Slice 64 of 155 | 240x240 | Axial view
FLAIR MRI.
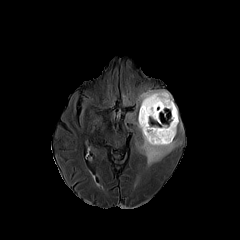
T1-weighted MR.
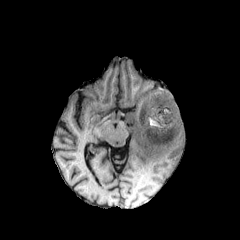
Post-contrast T1-weighted MR image.
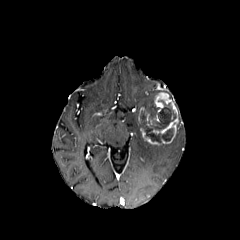
T2-weighted MR.
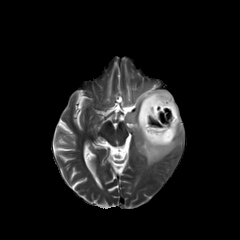
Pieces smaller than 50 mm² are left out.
The 3 largest peritumoral edema regions are bounded by <bbox>136, 120, 149, 129</bbox>, <bbox>136, 138, 180, 165</bbox>, <bbox>137, 90, 172, 118</bbox>. The 2 largest necrotic tumor core regions appear at <bbox>142, 101, 175, 142</bbox>, <bbox>140, 107, 147, 118</bbox>. The 2 largest enhancing tumor regions are located at <bbox>140, 92, 178, 145</bbox>, <bbox>138, 107, 159, 124</bbox>.